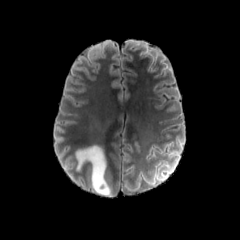
FLAIR MRI.
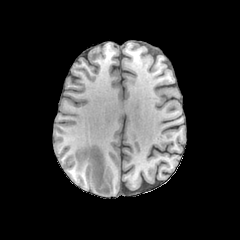
T1-weighted MR.
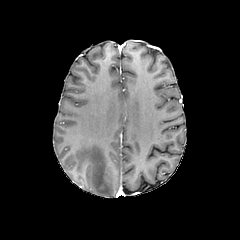
Post-contrast T1-weighted MRI.
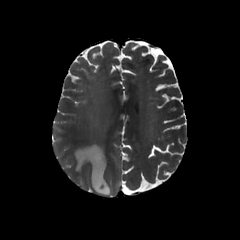
T2-weighted MR.
Head. Image size 240x240.
The peritumoral edema is at [x1=76, y1=145, x2=110, y2=195].